Slice index 35 | Head | Axial view
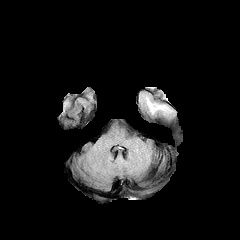
FLAIR MRI.
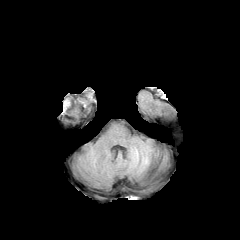
T1-weighted MRI.
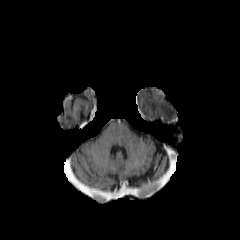
Post-contrast T1-weighted MR image.
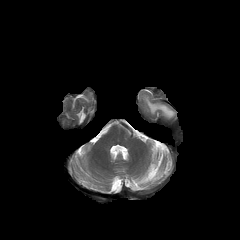
T2-weighted MR image.
{
  "peritumoral_edema": [
    "<box>143,95,175,117</box>"
  ]
}